240x240 px; Slice 34/155; Head; Image covers 240 mm x 240 mm
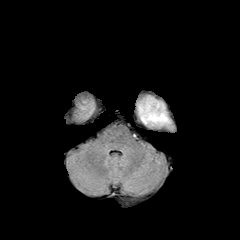
FLAIR MRI.
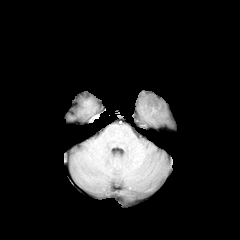
T1-weighted MR image.
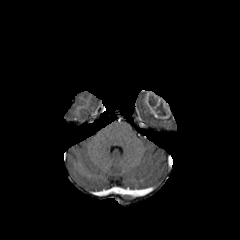
Post-contrast T1-weighted MR.
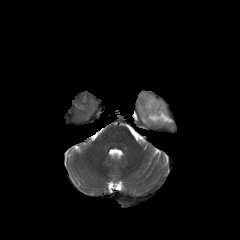
T2-weighted magnetic resonance.
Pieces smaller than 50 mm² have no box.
peritumoral edema: box(137, 98, 170, 125) | necrotic tumor core: box(149, 96, 156, 106); box(155, 103, 165, 115); box(147, 107, 170, 121) | enhancing tumor: box(143, 92, 170, 119)